FLAIR MR image.
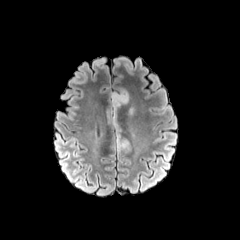
T1-weighted magnetic resonance.
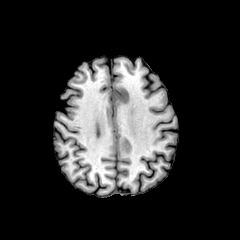
Post-contrast T1-weighted magnetic resonance.
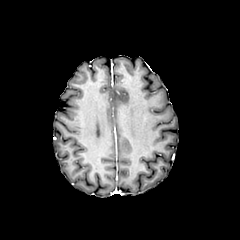
T2-weighted MR.
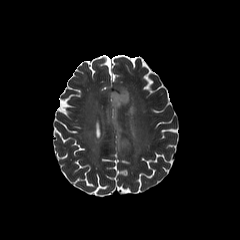
240x240; Head
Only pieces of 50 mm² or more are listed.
peritumoral_edema:
  - region(110, 88, 129, 120)